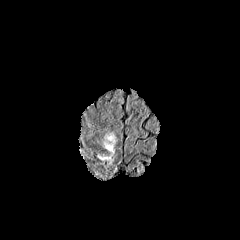
FLAIR magnetic resonance.
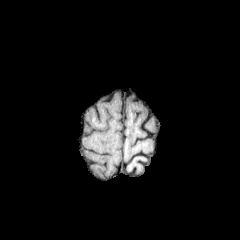
T1-weighted MR.
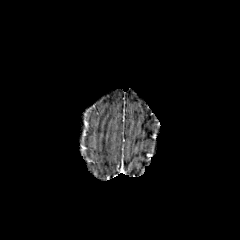
Post-contrast T1-weighted magnetic resonance of the same slice.
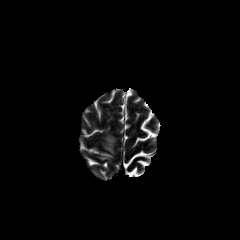
T2-weighted MRI.
Head
peritumoral edema — rect(96, 131, 117, 167)